Slice index 131, Axial view, 240x240, Brain
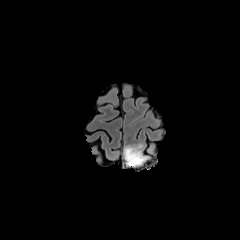
FLAIR MR image.
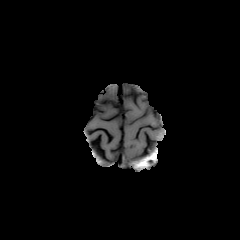
Same slice, T1-weighted MR.
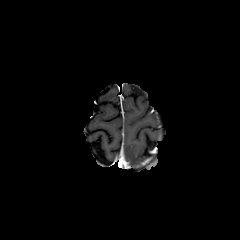
Same slice, post-contrast T1-weighted MRI.
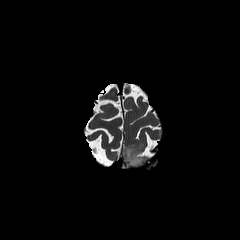
T2-weighted MR image of the same slice.
{
  "peritumoral_edema": [
    "box(123, 144, 148, 166)"
  ]
}